FLAIR MR.
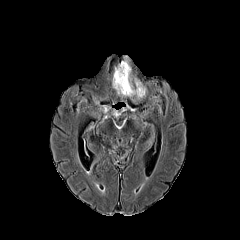
T1-weighted MR image.
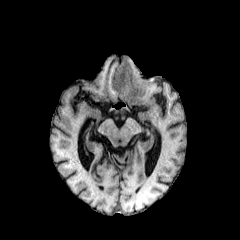
Post-contrast T1-weighted magnetic resonance.
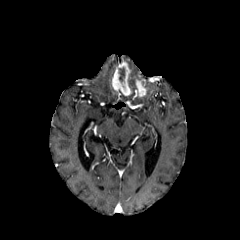
T2-weighted MRI.
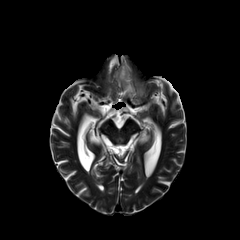
Axial slice, Head
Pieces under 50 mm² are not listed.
The necrotic tumor core is at [119, 67, 124, 81]. The largest peritumoral edema region is at [119, 72, 136, 96]. 2 enhancing tumor regions are bounded by [135, 79, 146, 97], [111, 60, 132, 95].